FLAIR MRI.
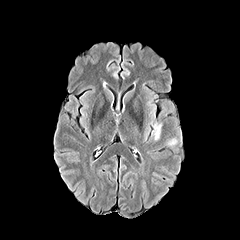
T1-weighted MR.
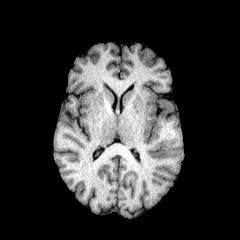
Post-contrast T1-weighted MR.
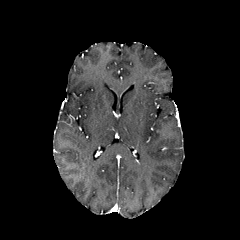
T2-weighted magnetic resonance.
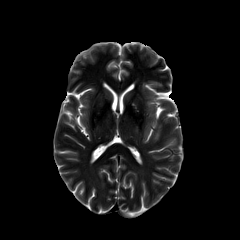
Head
Segmented structures:
* peritumoral edema: left=153, top=121, right=163, bottom=141; left=166, top=138, right=178, bottom=147